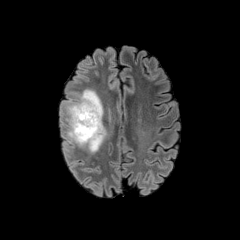
FLAIR MRI.
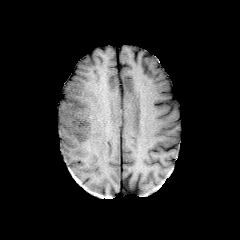
T1-weighted MR of the same slice.
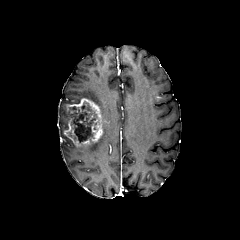
Same slice, post-contrast T1-weighted MR image.
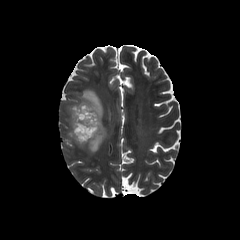
Same slice, T2-weighted MR.
Axial plane. Head.
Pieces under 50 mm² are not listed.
peritumoral_edema:
  - region(62, 131, 73, 152)
  - region(80, 126, 105, 153)
  - region(61, 89, 103, 118)
necrotic_tumor_core:
  - region(70, 104, 96, 142)
enhancing_tumor:
  - region(63, 98, 103, 147)